FLAIR magnetic resonance.
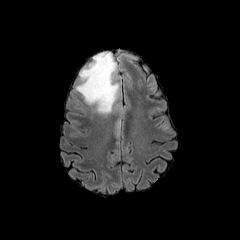
T1-weighted MR.
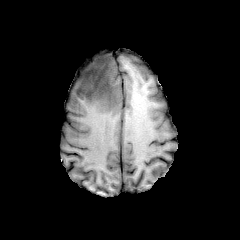
Post-contrast T1-weighted MR.
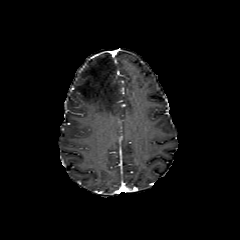
T2-weighted magnetic resonance.
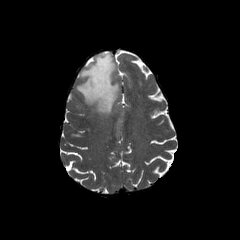
Axial plane, Brain, 240x240 px
peritumoral edema at box=[75, 52, 119, 115]